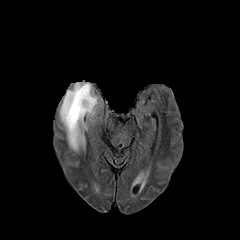
FLAIR MRI.
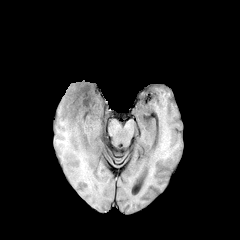
T1-weighted MR image.
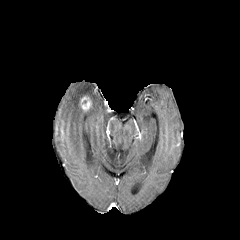
Same slice, post-contrast T1-weighted MR.
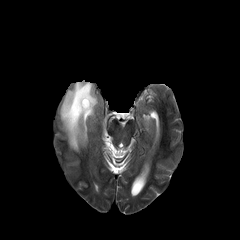
T2-weighted MRI of the same slice.
Brain. Axial plane.
peritumoral_edema:
  - box(59, 82, 99, 151)
enhancing_tumor:
  - box(80, 96, 92, 111)